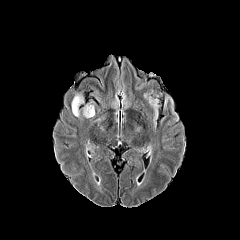
FLAIR MR.
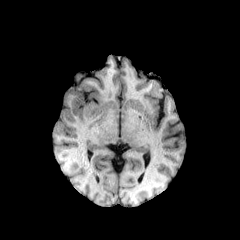
T1-weighted MR image.
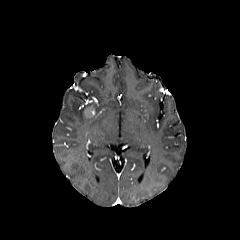
Same slice, post-contrast T1-weighted MRI.
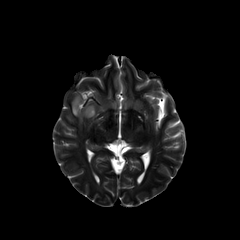
Same slice, T2-weighted magnetic resonance.
Image size 240x240, Axial slice
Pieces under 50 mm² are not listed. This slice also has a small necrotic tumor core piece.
enhancing tumor = region(84, 106, 94, 115)
peritumoral edema = region(72, 94, 83, 117)